FLAIR MRI.
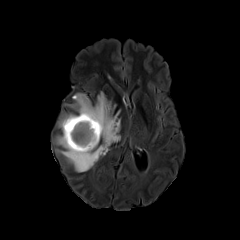
T1-weighted MR.
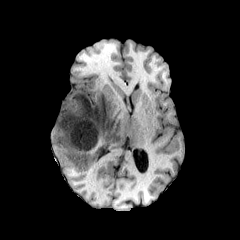
Post-contrast T1-weighted MR.
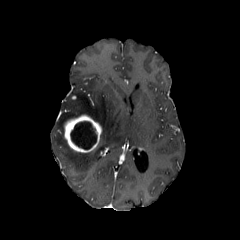
T2-weighted MR.
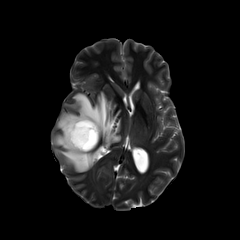
Brain
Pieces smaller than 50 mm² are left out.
<segmentation>
  <peritumoral_edema>l=54, t=92, r=120, b=172</peritumoral_edema>
  <necrotic_tumor_core>l=70, t=121, r=96, b=149</necrotic_tumor_core>
  <enhancing_tumor>l=64, t=114, r=102, b=152</enhancing_tumor>
</segmentation>